Image covers 240 mm x 240 mm; 240x240; Axial view; Brain
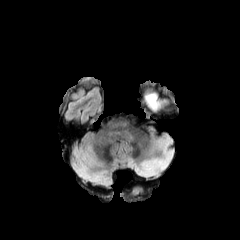
FLAIR MR.
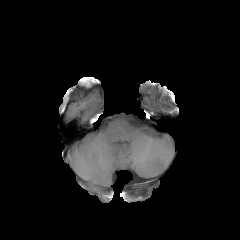
T1-weighted magnetic resonance of the same slice.
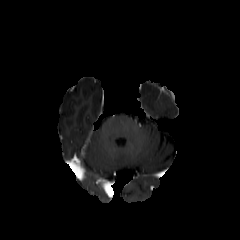
Same slice, post-contrast T1-weighted MR image.
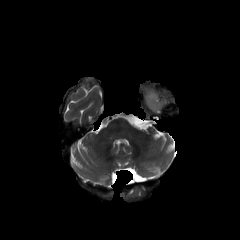
T2-weighted MR image.
• peritumoral edema: <bbox>145, 87, 168, 110</bbox>